Image width 240 mm, 240x240, Axial plane, Brain
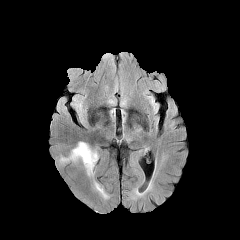
FLAIR magnetic resonance.
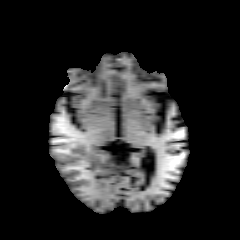
T1-weighted MR of the same slice.
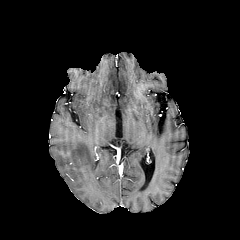
Post-contrast T1-weighted MR image.
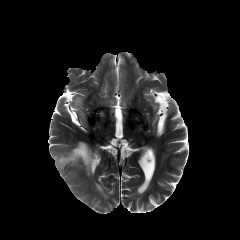
T2-weighted MR image of the same slice.
peritumoral edema = x1=59, y1=142, x2=97, y2=175